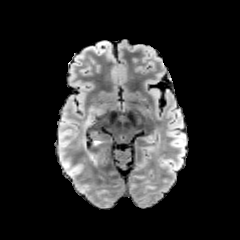
FLAIR MRI.
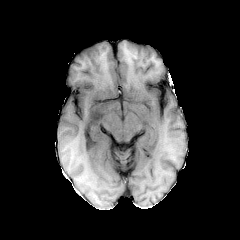
Same slice, T1-weighted MR.
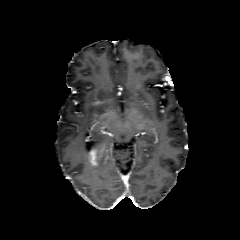
Post-contrast T1-weighted magnetic resonance of the same slice.
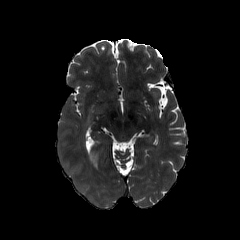
T2-weighted MR.
Head
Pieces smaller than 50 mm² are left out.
{"enhancing_tumor": ["l=89, t=149, r=97, b=166"], "peritumoral_edema": ["l=93, t=147, r=105, b=165"]}